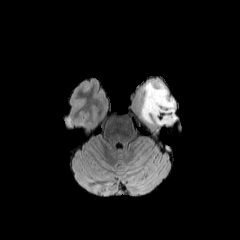
FLAIR MR image.
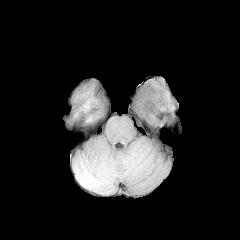
Same slice, T1-weighted MR.
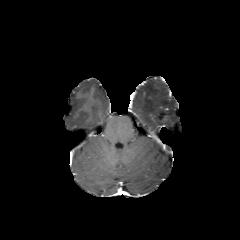
Same slice, post-contrast T1-weighted MR.
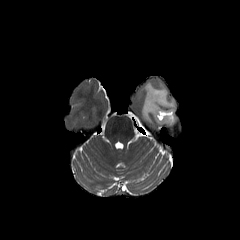
T2-weighted MR image of the same slice.
Axial plane
peritumoral edema — [140,80,179,137]